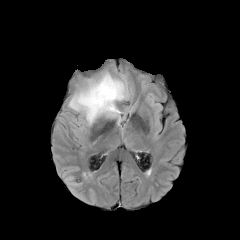
FLAIR MRI.
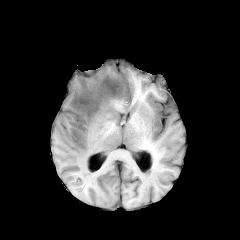
Same slice, T1-weighted MR image.
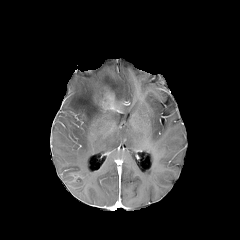
Post-contrast T1-weighted MR.
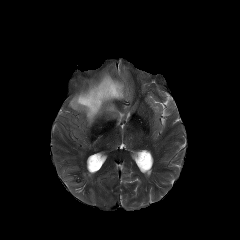
T2-weighted MRI.
Brain, Axial plane, Image size 240x240
The peritumoral edema is bounded by rect(68, 61, 128, 125). The enhancing tumor is bounded by rect(95, 86, 117, 110).